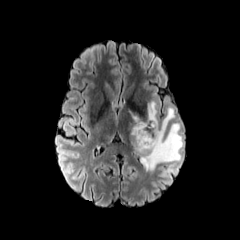
FLAIR MR.
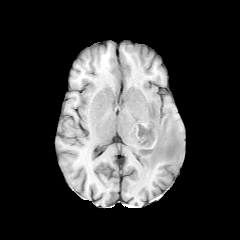
T1-weighted magnetic resonance.
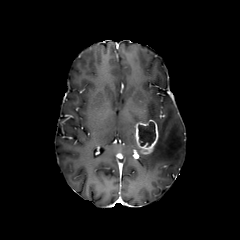
Post-contrast T1-weighted MR image.
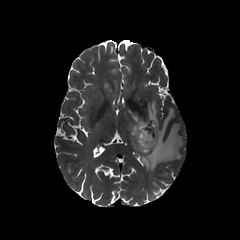
T2-weighted magnetic resonance.
Axial slice, Brain
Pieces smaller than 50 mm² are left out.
peritumoral edema at x1=127 y1=101 x2=183 y2=174
enhancing tumor at x1=134 y1=119 x2=158 y2=157
necrotic tumor core at x1=138 y1=121 x2=156 y2=147